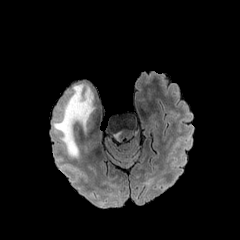
FLAIR magnetic resonance.
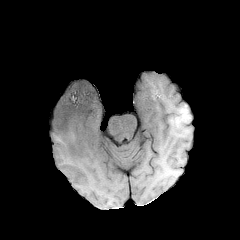
T1-weighted MR.
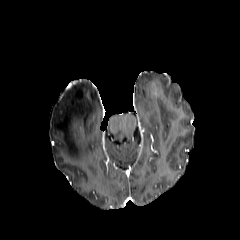
Post-contrast T1-weighted MR of the same slice.
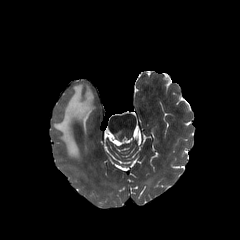
T2-weighted MR.
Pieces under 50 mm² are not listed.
<segmentation>
  <peritumoral_edema>53, 84, 95, 158</peritumoral_edema>
</segmentation>